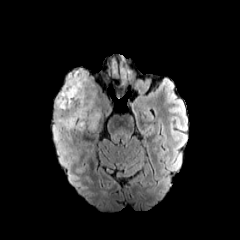
FLAIR MRI.
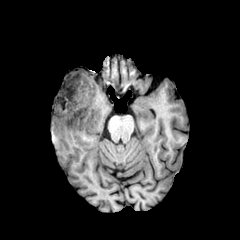
Same slice, T1-weighted MR.
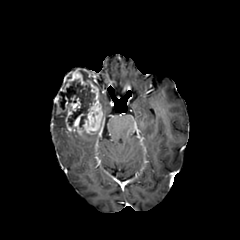
Post-contrast T1-weighted magnetic resonance.
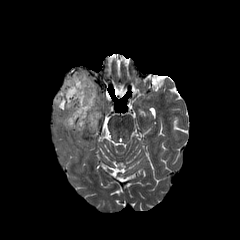
T2-weighted MR image of the same slice.
Axial view
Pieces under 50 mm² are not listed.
enhancing tumor: (54, 69, 102, 135) | necrotic tumor core: (59, 80, 95, 127) | peritumoral edema: (79, 70, 88, 81), (57, 143, 66, 154), (53, 111, 66, 142)